FLAIR MR.
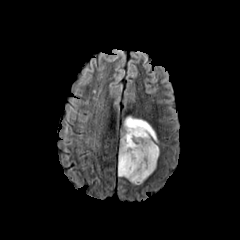
T1-weighted MR image.
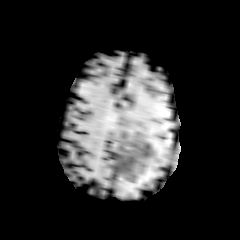
Post-contrast T1-weighted magnetic resonance.
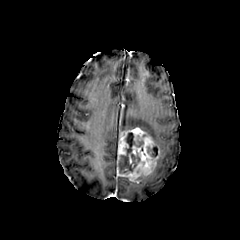
T2-weighted MR image.
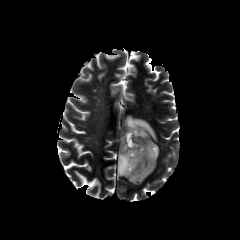
Axial slice; Brain
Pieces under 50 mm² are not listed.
The 2 largest peritumoral edema regions are bounded by box=[132, 174, 150, 184]; box=[123, 116, 158, 143]. The 2 largest necrotic tumor core regions are located at box=[119, 132, 143, 172]; box=[152, 146, 157, 157]. The largest enhancing tumor region is bounded by box=[117, 127, 159, 182].